240x240 px | Brain
FLAIR magnetic resonance.
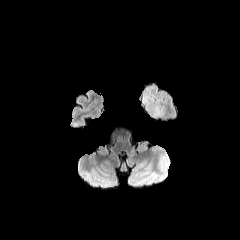
T1-weighted MRI.
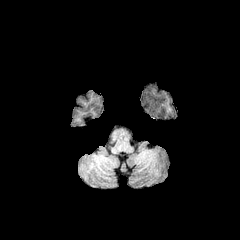
Post-contrast T1-weighted MRI.
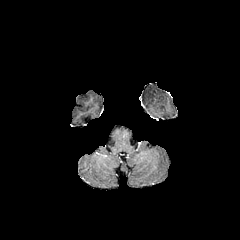
T2-weighted magnetic resonance.
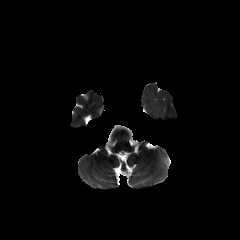
peritumoral_edema:
  - [x1=142, y1=96, x2=160, y2=118]